FLAIR MRI.
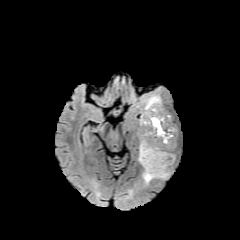
T1-weighted magnetic resonance.
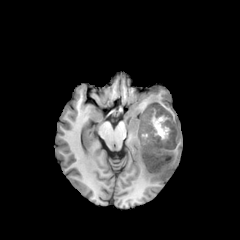
Post-contrast T1-weighted MR image.
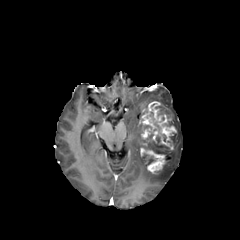
T2-weighted magnetic resonance.
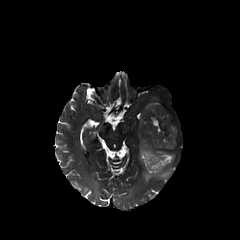
Image size 240x240. Brain.
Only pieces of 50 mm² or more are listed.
The 3 largest enhancing tumor regions are bounded by x1=140 y1=146 x2=171 y2=173, x1=158 y1=107 x2=176 y2=152, x1=139 y1=101 x2=161 y2=145. 2 peritumoral edema regions appear at x1=144 y1=95 x2=160 y2=108, x1=138 y1=137 x2=174 y2=183. The 3 largest necrotic tumor core regions appear at x1=143 y1=153 x2=156 y2=164, x1=142 y1=106 x2=170 y2=160, x1=167 y1=132 x2=174 y2=145.